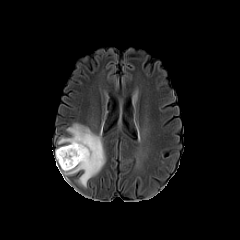
FLAIR magnetic resonance.
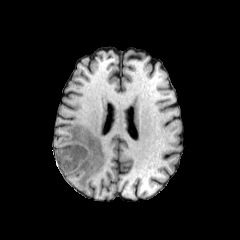
T1-weighted MR image of the same slice.
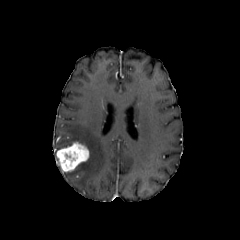
Same slice, post-contrast T1-weighted MR image.
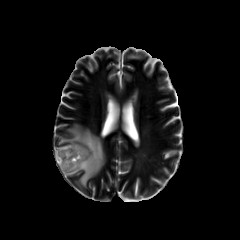
Same slice, T2-weighted magnetic resonance.
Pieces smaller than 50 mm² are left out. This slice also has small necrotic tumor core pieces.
The enhancing tumor lies within (left=56, top=141, right=89, bottom=172). The peritumoral edema lies within (left=57, top=123, right=105, bottom=187).